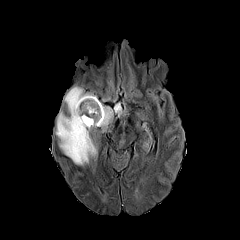
FLAIR MR image.
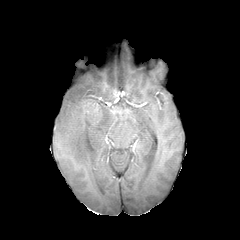
T1-weighted MR.
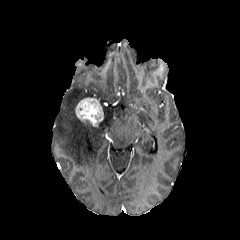
Post-contrast T1-weighted MR.
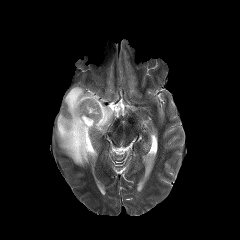
T2-weighted MR image.
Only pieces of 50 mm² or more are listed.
peritumoral edema — [x1=56, y1=86, x2=122, y2=166]
enhancing tumor — [x1=75, y1=97, x2=103, y2=126]